Slice 70 of 155. Axial plane.
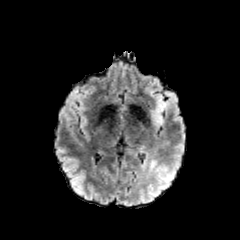
FLAIR magnetic resonance.
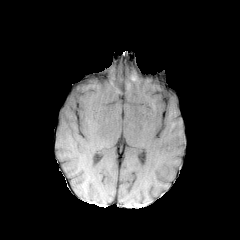
T1-weighted magnetic resonance.
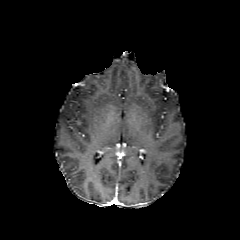
Post-contrast T1-weighted magnetic resonance of the same slice.
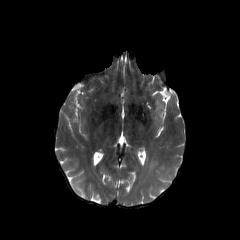
T2-weighted MRI of the same slice.
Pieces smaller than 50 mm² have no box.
Segmented structures:
* peritumoral edema: bbox(151, 92, 176, 130)